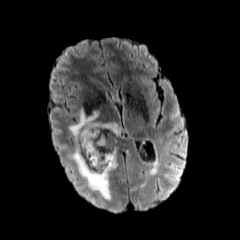
FLAIR magnetic resonance.
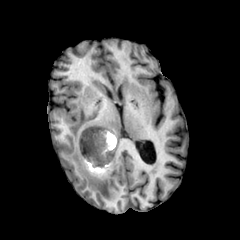
T1-weighted MR image.
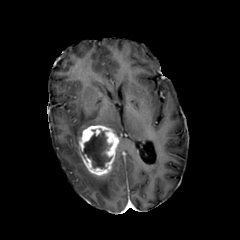
Post-contrast T1-weighted magnetic resonance.
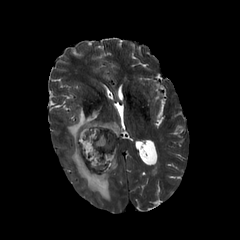
Same slice, T2-weighted MR.
Brain | Axial view | Image size 240x240
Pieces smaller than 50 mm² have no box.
The largest peritumoral edema region lies within bbox=[69, 109, 120, 200]. The necrotic tumor core is located at bbox=[82, 131, 112, 168]. The enhancing tumor is located at bbox=[79, 125, 118, 176].